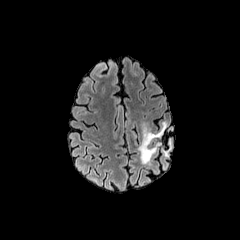
FLAIR MR image.
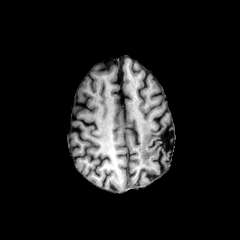
Same slice, T1-weighted MRI.
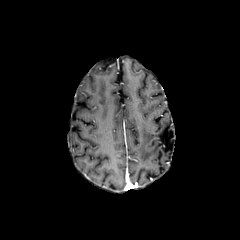
Same slice, post-contrast T1-weighted MR.
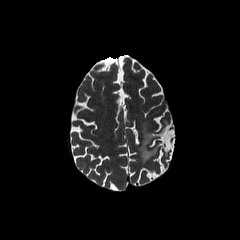
T2-weighted MRI of the same slice.
Image size 240x240
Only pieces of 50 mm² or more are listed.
Findings:
* peritumoral edema: <bbox>138, 122, 166, 163</bbox>